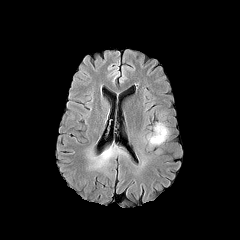
FLAIR MRI.
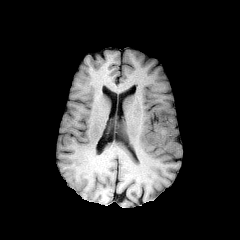
T1-weighted MR image.
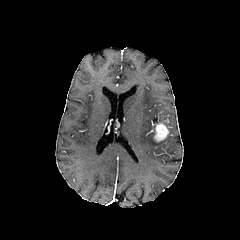
Same slice, post-contrast T1-weighted MRI.
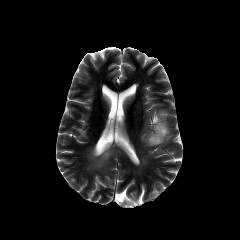
T2-weighted MR image of the same slice.
Axial plane
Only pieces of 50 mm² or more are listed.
enhancing_tumor:
  - [x1=153, y1=122, x2=169, y2=142]
peritumoral_edema:
  - [x1=97, y1=149, x2=112, y2=166]
  - [x1=143, y1=126, x2=168, y2=146]